Brain
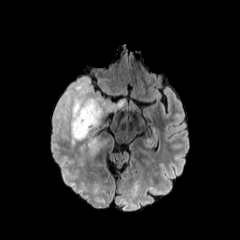
FLAIR MR.
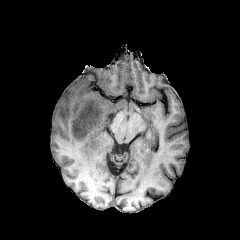
T1-weighted MRI.
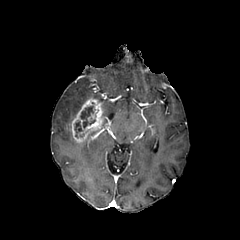
Post-contrast T1-weighted MRI.
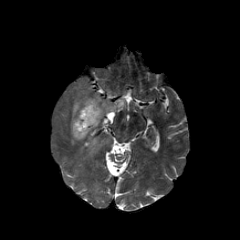
T2-weighted MRI.
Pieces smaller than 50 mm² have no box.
enhancing tumor: (left=71, top=97, right=107, bottom=143) | peritumoral edema: (left=52, top=75, right=126, bottom=145), (left=83, top=131, right=102, bottom=152) | necrotic tumor core: (left=80, top=106, right=99, bottom=128), (left=74, top=120, right=81, bottom=138)